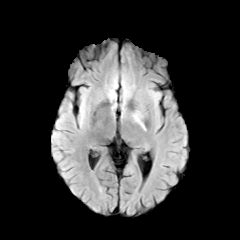
FLAIR magnetic resonance.
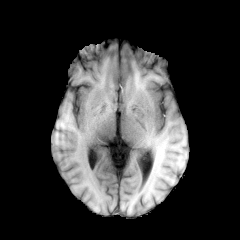
Same slice, T1-weighted magnetic resonance.
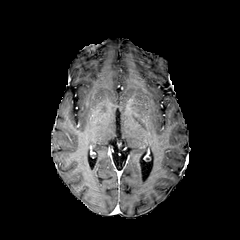
Post-contrast T1-weighted MR.
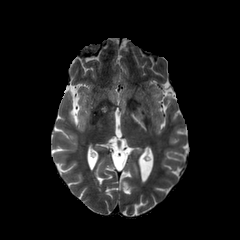
T2-weighted MRI of the same slice.
Brain
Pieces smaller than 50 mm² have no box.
The largest peritumoral edema region is bounded by bbox(131, 111, 145, 129).